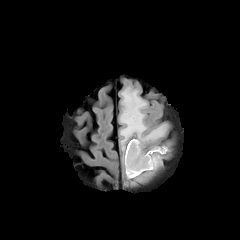
FLAIR MRI.
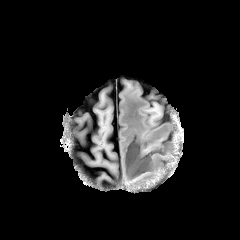
T1-weighted MRI of the same slice.
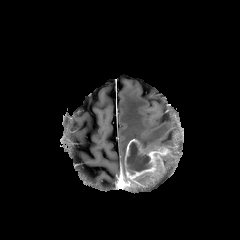
Post-contrast T1-weighted MR image.
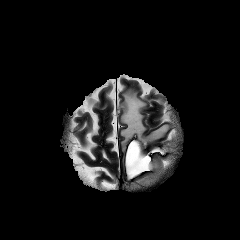
T2-weighted MRI.
Axial slice; Brain
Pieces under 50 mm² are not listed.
<segmentation>
  <enhancing_tumor>125:139:169:179</enhancing_tumor>
  <peritumoral_edema>120:89:167:153</peritumoral_edema>
  <necrotic_tumor_core>127:143:151:174</necrotic_tumor_core>
</segmentation>